FLAIR MR.
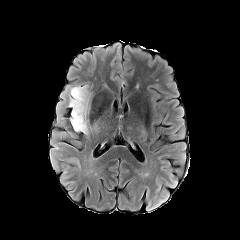
T1-weighted MRI.
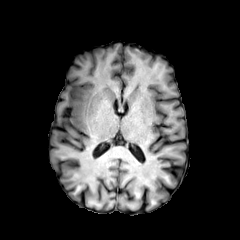
Post-contrast T1-weighted MR.
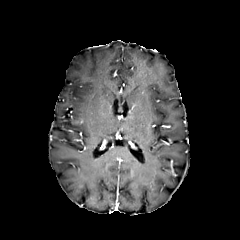
T2-weighted MRI.
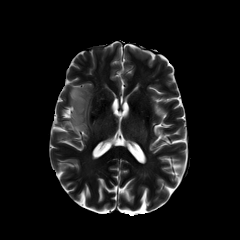
Axial view; Head
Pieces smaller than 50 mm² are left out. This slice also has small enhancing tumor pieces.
The peritumoral edema is at region(69, 84, 91, 134).